Slice 92/155; Image width 240 mm, 1.00 mm slice spacing; 240x240
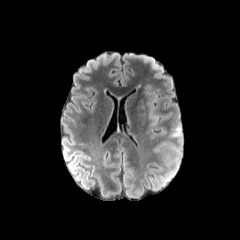
FLAIR magnetic resonance.
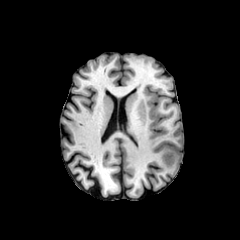
T1-weighted MR image of the same slice.
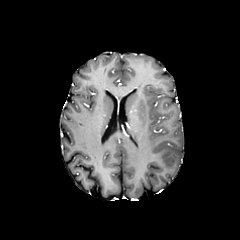
Post-contrast T1-weighted MR.
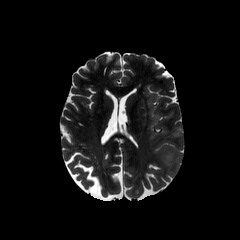
T2-weighted MR.
Segmented structures:
* peritumoral edema: 143, 86, 159, 119; 160, 147, 179, 163; 173, 127, 182, 137